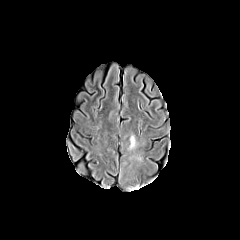
FLAIR MR.
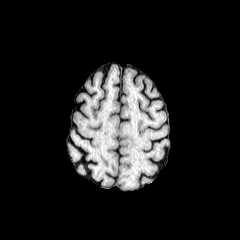
T1-weighted MRI.
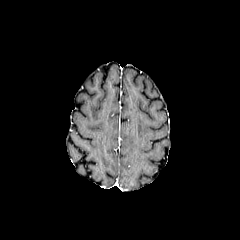
Post-contrast T1-weighted MR.
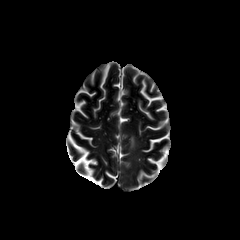
T2-weighted magnetic resonance of the same slice.
Head. Axial view. 240x240 px.
The peritumoral edema appears at region(130, 136, 135, 148).